Image covers 240 mm x 240 mm. Brain. Axial slice.
FLAIR MR image.
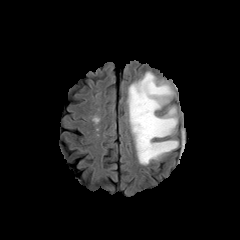
T1-weighted MRI.
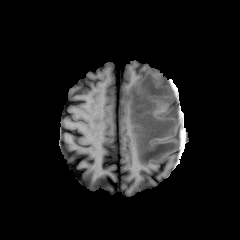
Post-contrast T1-weighted MR.
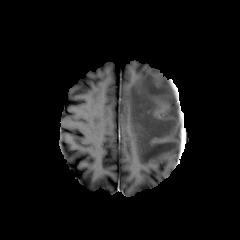
T2-weighted magnetic resonance.
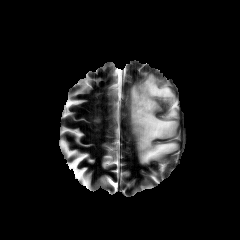
peritumoral edema: bbox=[127, 72, 178, 164]